FLAIR MR image.
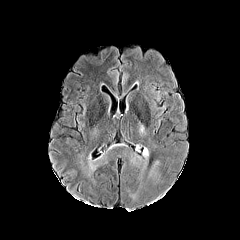
T1-weighted MR image.
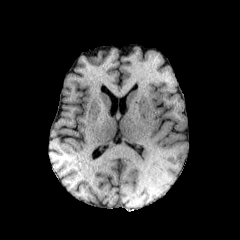
Post-contrast T1-weighted MR image.
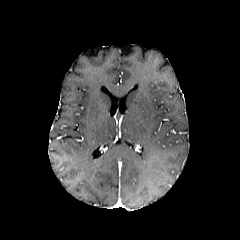
T2-weighted MRI.
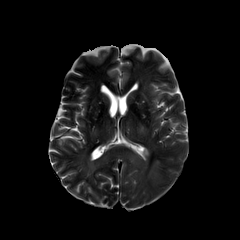
Head, Image size 240x240
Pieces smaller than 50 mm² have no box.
Annotated regions:
- peritumoral edema: 142 147 148 157